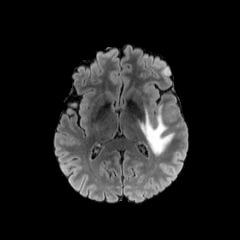
FLAIR magnetic resonance.
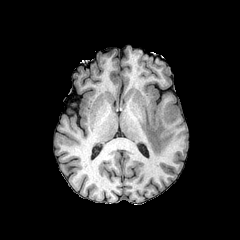
Same slice, T1-weighted magnetic resonance.
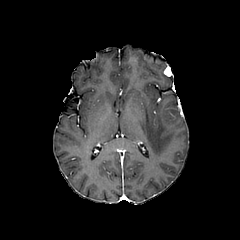
Post-contrast T1-weighted MRI of the same slice.
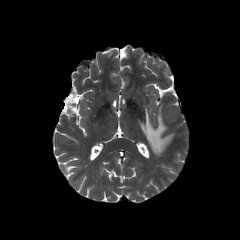
T2-weighted MRI of the same slice.
Axial view
The peritumoral edema is bounded by bbox(137, 102, 176, 155).